Slice 47 of 155 | Image width 240 mm, 1.00 mm slice spacing | 240x240
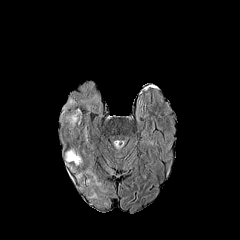
FLAIR MR.
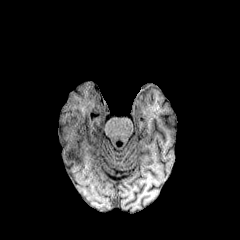
T1-weighted magnetic resonance of the same slice.
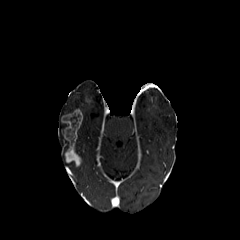
Post-contrast T1-weighted magnetic resonance.
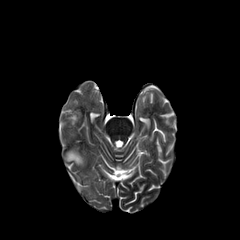
T2-weighted MRI of the same slice.
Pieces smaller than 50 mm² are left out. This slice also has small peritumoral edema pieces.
necrotic tumor core — bbox=[63, 114, 79, 126]
enhancing tumor — bbox=[61, 109, 82, 165]